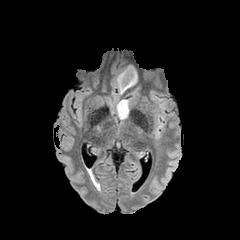
FLAIR magnetic resonance.
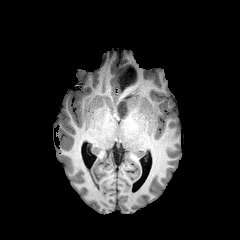
T1-weighted MRI.
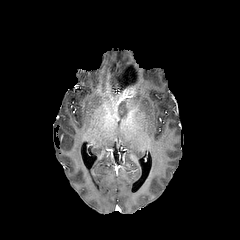
Post-contrast T1-weighted MRI of the same slice.
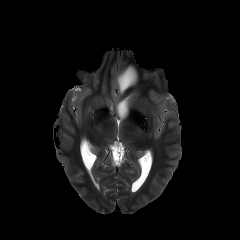
Same slice, T2-weighted MR.
240x240
peritumoral edema: (left=116, top=99, right=128, bottom=119), (left=117, top=65, right=137, bottom=87)